FLAIR MRI.
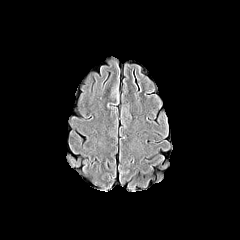
T1-weighted magnetic resonance.
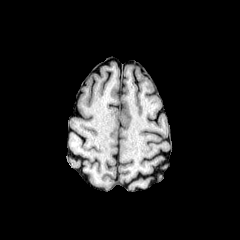
Post-contrast T1-weighted MR.
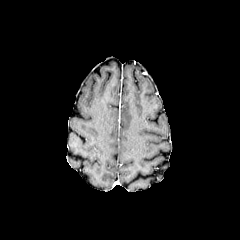
T2-weighted MRI.
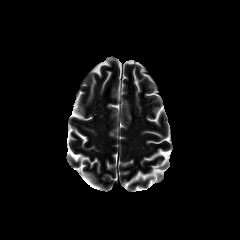
The peritumoral edema lies within l=111, t=83, r=118, b=96.